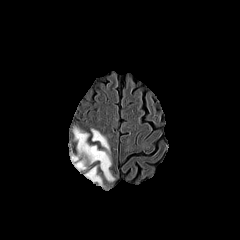
FLAIR MR.
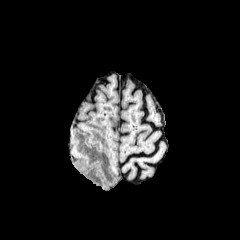
Same slice, T1-weighted magnetic resonance.
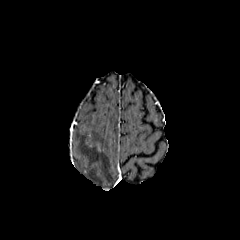
Post-contrast T1-weighted magnetic resonance.
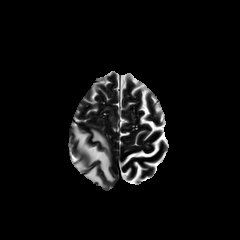
Same slice, T2-weighted MR.
3 peritumoral edema regions are located at l=73, t=156, r=86, b=171; l=85, t=166, r=103, b=186; l=74, t=128, r=114, b=181.